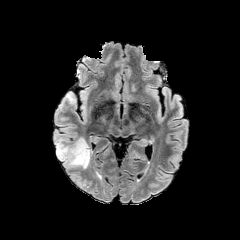
FLAIR MRI.
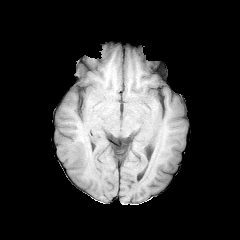
T1-weighted MR.
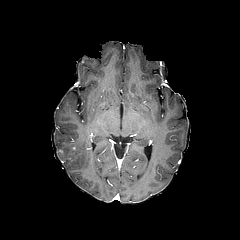
Post-contrast T1-weighted magnetic resonance.
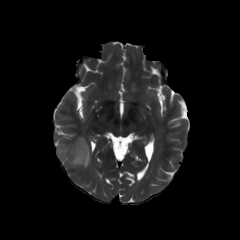
T2-weighted MR of the same slice.
240x240 px | Brain
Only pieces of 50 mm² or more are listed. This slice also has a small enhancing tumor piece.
peritumoral edema: rect(56, 138, 90, 168)